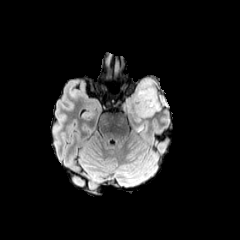
FLAIR MRI.
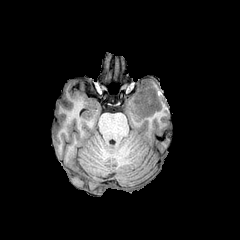
T1-weighted magnetic resonance of the same slice.
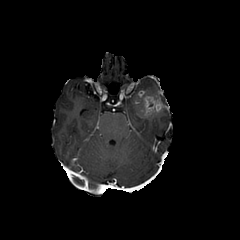
Post-contrast T1-weighted MR image of the same slice.
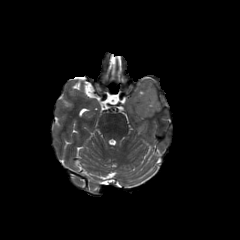
T2-weighted MR image of the same slice.
Brain
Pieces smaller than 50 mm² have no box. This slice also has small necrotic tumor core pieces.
enhancing tumor at 136,90,164,116
peritumoral edema at 122,77,160,122